FLAIR MR image.
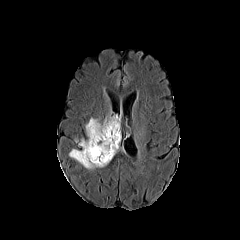
T1-weighted MR image.
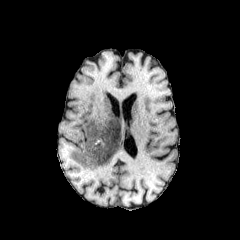
Post-contrast T1-weighted MRI.
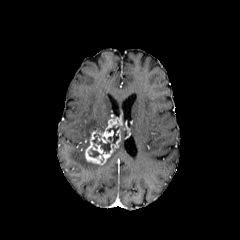
T2-weighted MRI.
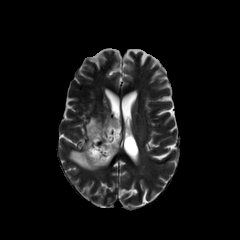
Brain; Axial view
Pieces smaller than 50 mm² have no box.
Segmented structures:
• peritumoral edema: region(69, 116, 119, 170)
• necrotic tumor core: region(92, 126, 118, 153); region(89, 149, 104, 160)
• enhancing tumor: region(85, 116, 121, 165)